Slice index 65 | Head
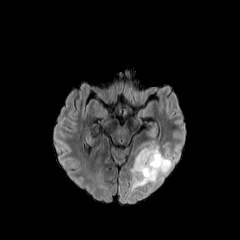
FLAIR magnetic resonance.
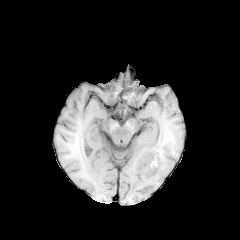
T1-weighted MRI.
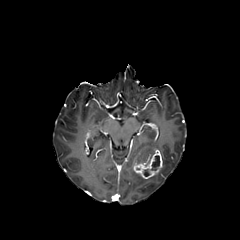
Same slice, post-contrast T1-weighted MR image.
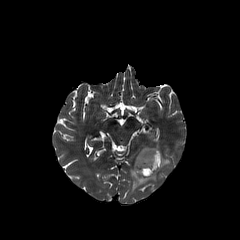
T2-weighted magnetic resonance.
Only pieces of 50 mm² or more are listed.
2 peritumoral edema regions are located at 133, 145, 159, 166; 130, 149, 173, 190. The largest necrotic tumor core region is located at 151, 155, 159, 170. The enhancing tumor is at 133, 149, 162, 179.